Axial slice. Brain. Image width 240 mm.
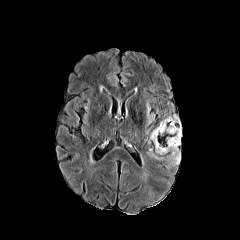
FLAIR magnetic resonance.
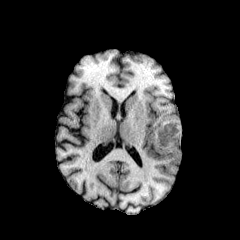
Same slice, T1-weighted MR.
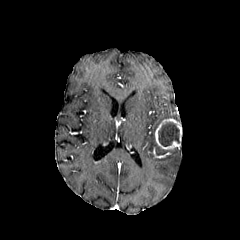
Post-contrast T1-weighted MRI of the same slice.
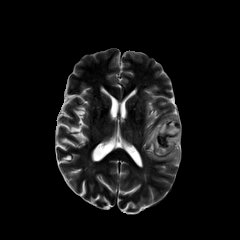
T2-weighted magnetic resonance.
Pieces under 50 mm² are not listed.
{"enhancing_tumor": ["box(155, 118, 181, 149)"], "peritumoral_edema": ["box(150, 129, 180, 165)"], "necrotic_tumor_core": ["box(158, 122, 179, 146)"]}